Slice index 115 | Axial plane | 240x240
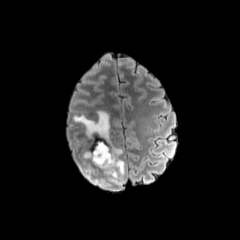
FLAIR MR image.
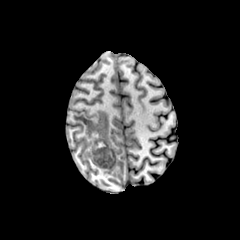
T1-weighted magnetic resonance of the same slice.
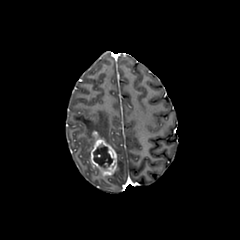
Post-contrast T1-weighted magnetic resonance.
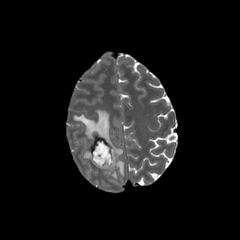
T2-weighted MR image.
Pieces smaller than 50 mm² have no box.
• enhancing tumor: [x1=90, y1=131, x2=117, y2=175]
• peritumoral edema: [x1=73, y1=110, x2=124, y2=183]
• necrotic tumor core: [x1=93, y1=144, x2=112, y2=168]